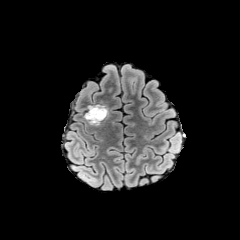
FLAIR MR.
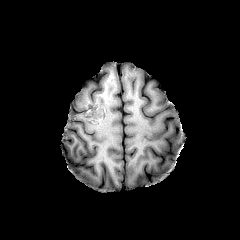
T1-weighted magnetic resonance.
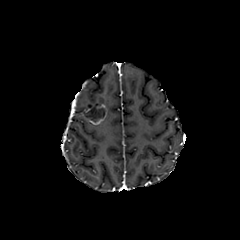
Post-contrast T1-weighted MR.
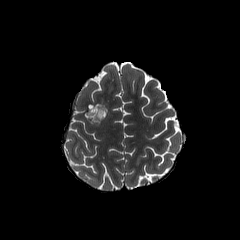
T2-weighted MR.
Axial plane.
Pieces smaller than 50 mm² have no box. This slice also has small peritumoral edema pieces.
enhancing tumor at l=84, t=104, r=106, b=124
necrotic tumor core at l=86, t=107, r=104, b=122